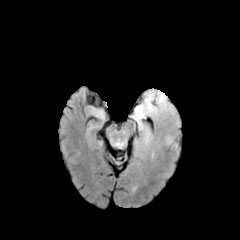
FLAIR MR.
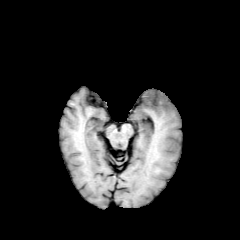
T1-weighted MR.
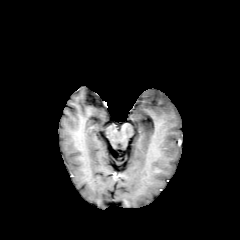
Post-contrast T1-weighted magnetic resonance.
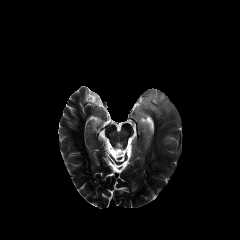
T2-weighted magnetic resonance.
Image size 240x240
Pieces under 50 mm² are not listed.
{"peritumoral_edema": ["[132, 89, 175, 146]", "[165, 135, 173, 144]"]}